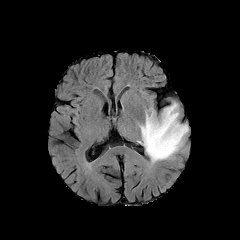
FLAIR magnetic resonance.
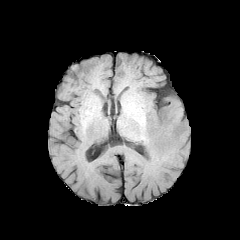
T1-weighted MR.
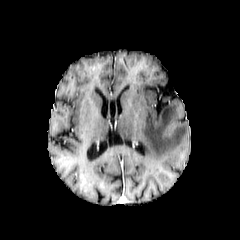
Post-contrast T1-weighted MR image.
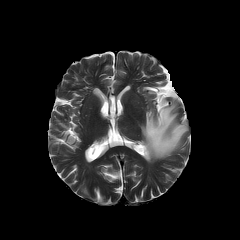
T2-weighted MR.
Brain | Axial view
peritumoral edema: bounding box 139, 102, 188, 162